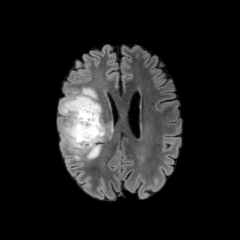
FLAIR MRI.
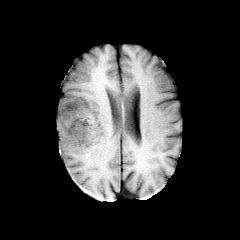
T1-weighted MRI.
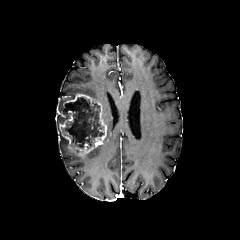
Post-contrast T1-weighted MR image of the same slice.
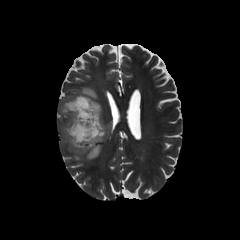
T2-weighted MR.
Head, 240x240
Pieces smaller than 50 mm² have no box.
The 3 largest peritumoral edema regions are located at box=[72, 145, 101, 160]; box=[60, 136, 67, 149]; box=[66, 87, 97, 100]. The largest enhancing tumor region is bounded by box=[59, 93, 107, 156]. The necrotic tumor core is located at box=[63, 97, 103, 148].